Image covers 240 mm x 240 mm. Image size 240x240.
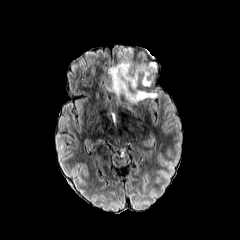
FLAIR magnetic resonance.
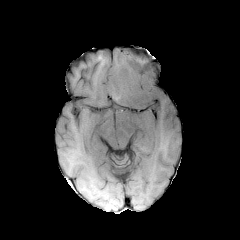
T1-weighted MR image of the same slice.
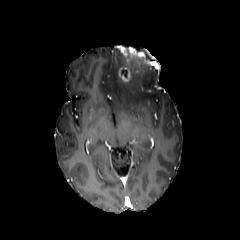
Post-contrast T1-weighted MR image.
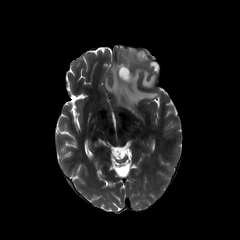
Same slice, T2-weighted MRI.
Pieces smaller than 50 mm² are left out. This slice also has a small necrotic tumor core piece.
enhancing tumor = 118 47 154 82
peritumoral edema = 106 49 158 108, 142 71 153 86